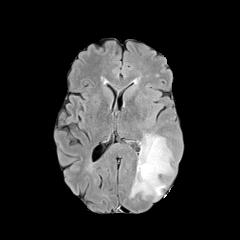
FLAIR magnetic resonance.
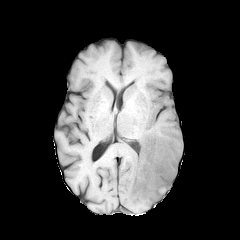
T1-weighted MRI.
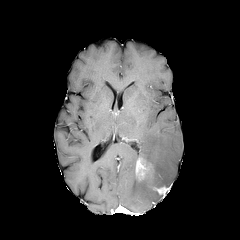
Post-contrast T1-weighted MRI.
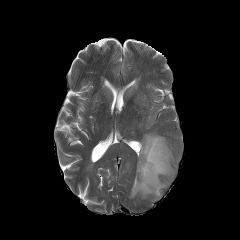
T2-weighted MRI.
Brain | Axial view | 240x240
peritumoral edema: x1=130, y1=133, x2=174, y2=200 | enhancing tumor: x1=153, y1=186, x2=168, y2=194; x1=136, y1=157, x2=153, y2=180